Slice 95/155; 240x240; Axial view
FLAIR MR image.
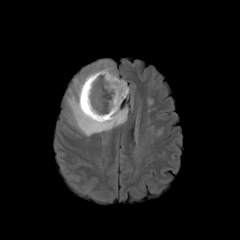
T1-weighted MR.
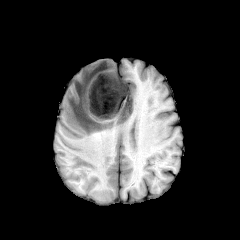
Post-contrast T1-weighted MR image.
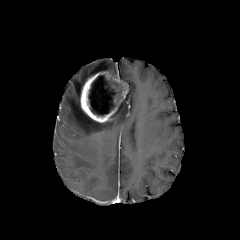
T2-weighted MRI.
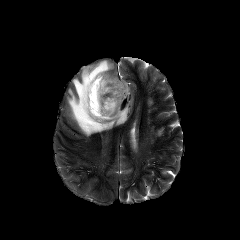
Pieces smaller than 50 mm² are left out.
{
  "enhancing_tumor": [
    "x1=80 y1=71 x2=128 y2=122"
  ],
  "peritumoral_edema": [
    "x1=63 y1=59 x2=128 y2=136"
  ],
  "necrotic_tumor_core": [
    "x1=88 y1=75 x2=115 y2=115"
  ]
}